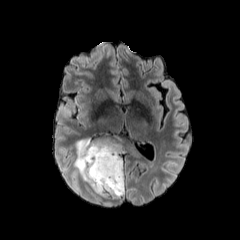
FLAIR magnetic resonance.
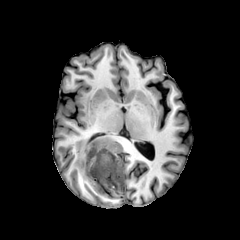
T1-weighted magnetic resonance.
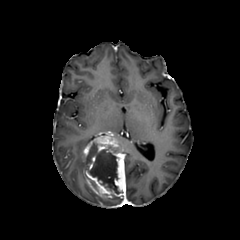
Same slice, post-contrast T1-weighted MRI.
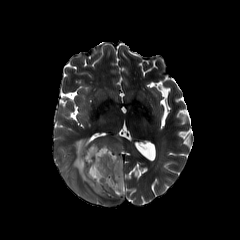
T2-weighted magnetic resonance.
Head | 240x240 px
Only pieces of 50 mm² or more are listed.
The 2 largest peritumoral edema regions appear at bbox=[74, 139, 90, 181]; bbox=[91, 192, 101, 202]. The largest enhancing tumor region is bounded by bbox=[83, 132, 125, 198]. The largest necrotic tumor core region is at bbox=[86, 143, 122, 194].